Brain. Image covers 240 mm x 240 mm.
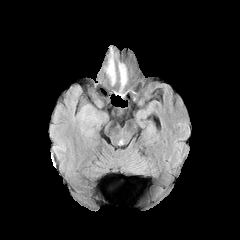
FLAIR MRI.
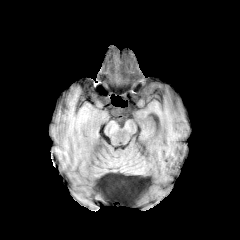
T1-weighted MR image.
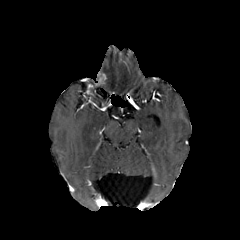
Same slice, post-contrast T1-weighted MRI.
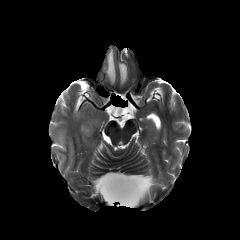
T2-weighted MR of the same slice.
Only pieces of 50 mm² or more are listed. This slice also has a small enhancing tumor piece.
peritumoral edema — [106,51,115,84], [118,63,126,85]